240x240.
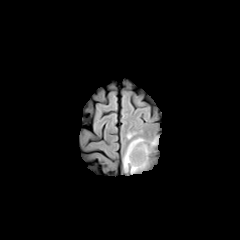
FLAIR MR.
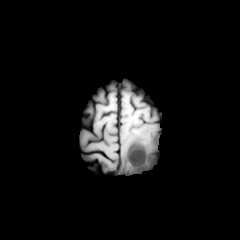
Same slice, T1-weighted MR image.
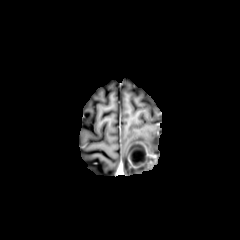
Post-contrast T1-weighted MR image of the same slice.
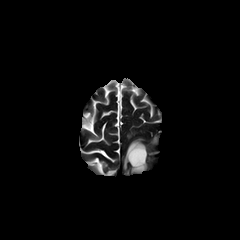
T2-weighted MRI.
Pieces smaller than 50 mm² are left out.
{"peritumoral_edema": [{"x1": 130, "y1": 158, "x2": 149, "y2": 173}, {"x1": 146, "y1": 136, "x2": 158, "y2": 153}, {"x1": 123, "y1": 154, "x2": 128, "y2": 172}], "enhancing_tumor": [{"x1": 125, "y1": 141, "x2": 157, "y2": 167}], "necrotic_tumor_core": [{"x1": 130, "y1": 150, "x2": 144, "y2": 164}]}